FLAIR MR.
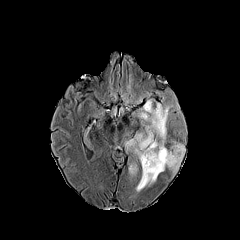
T1-weighted MR.
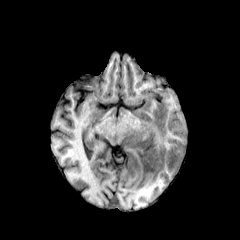
Post-contrast T1-weighted magnetic resonance.
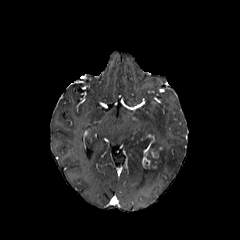
T2-weighted MR image.
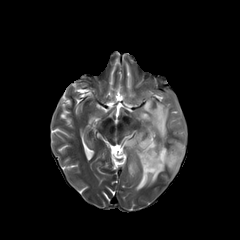
Head
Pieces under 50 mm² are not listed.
enhancing tumor: 152, 160, 162, 169; 142, 148, 150, 168; 150, 147, 159, 158 | peritumoral edema: 124, 98, 184, 191; 129, 163, 137, 175 | necrotic tumor core: 147, 150, 156, 167